Axial view. Head.
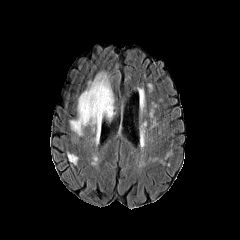
FLAIR MRI.
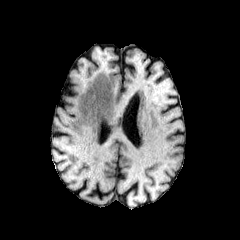
T1-weighted MR of the same slice.
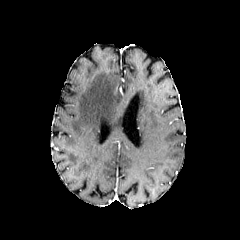
Post-contrast T1-weighted MR image.
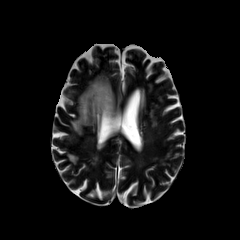
Same slice, T2-weighted MR.
<segmentation>
  <peritumoral_edema>70, 72, 113, 134</peritumoral_edema>
</segmentation>